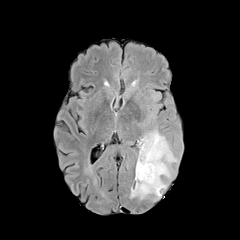
FLAIR magnetic resonance.
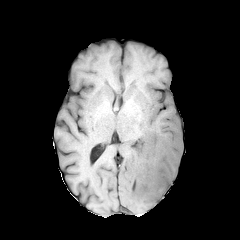
T1-weighted magnetic resonance.
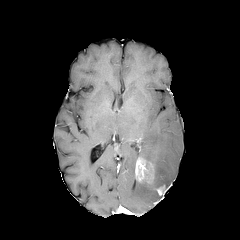
Same slice, post-contrast T1-weighted MR.
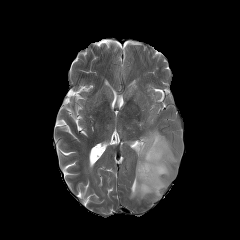
T2-weighted MR image.
Brain
2 enhancing tumor regions are located at 135,157,154,184; 156,186,164,195. The peritumoral edema lies within 130,129,177,200.